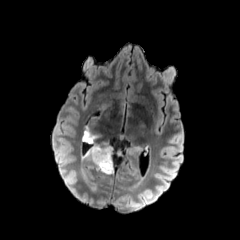
FLAIR magnetic resonance.
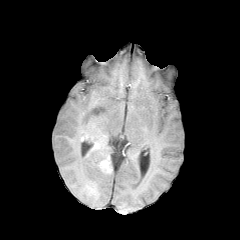
Same slice, T1-weighted magnetic resonance.
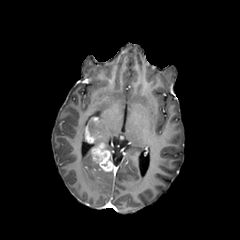
Post-contrast T1-weighted MRI.
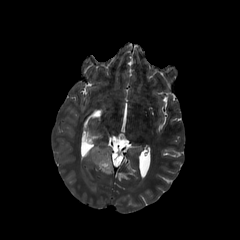
Same slice, T2-weighted MR image.
Image size 240x240; Axial plane
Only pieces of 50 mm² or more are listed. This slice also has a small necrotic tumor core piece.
• enhancing tumor: [x1=90, y1=143, x2=113, y2=172], [x1=84, y1=128, x2=97, y2=143]
• peritumoral edema: [x1=101, y1=142, x2=112, y2=153], [x1=82, y1=125, x2=101, y2=141], [x1=92, y1=161, x2=113, y2=174], [x1=81, y1=168, x2=96, y2=191]